FLAIR MR.
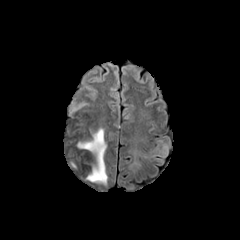
T1-weighted MRI.
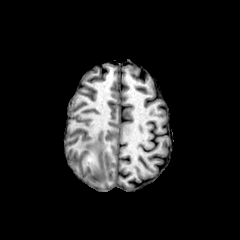
Post-contrast T1-weighted MR.
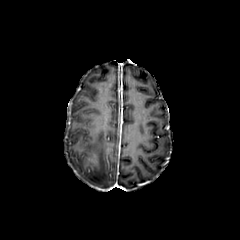
T2-weighted MRI.
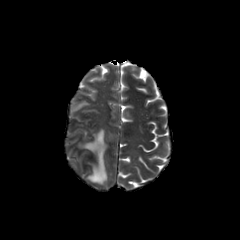
Image size 240x240 | Brain
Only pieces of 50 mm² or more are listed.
peritumoral edema = [78,128,107,185]